FLAIR MRI.
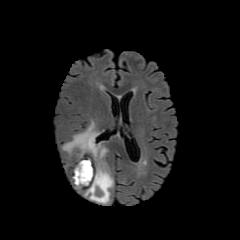
T1-weighted MR.
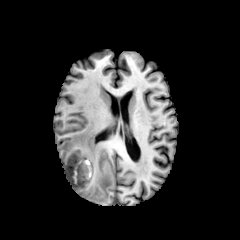
Post-contrast T1-weighted MRI.
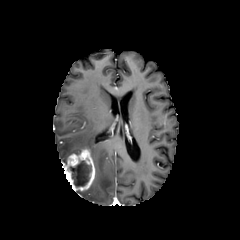
T2-weighted MRI.
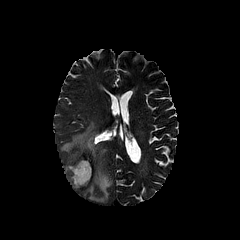
240x240 px
<segmentation>
  <peritumoral_edema>l=62, t=121, r=113, b=203</peritumoral_edema>
  <enhancing_tumor>l=63, t=146, r=95, b=190</enhancing_tumor>
  <necrotic_tumor_core>l=69, t=160, r=91, b=186</necrotic_tumor_core>
</segmentation>